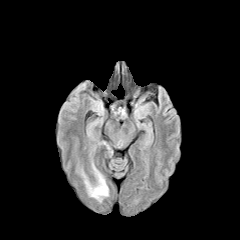
FLAIR magnetic resonance.
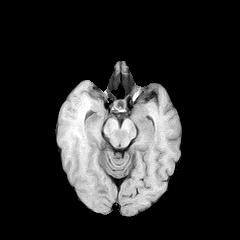
T1-weighted magnetic resonance.
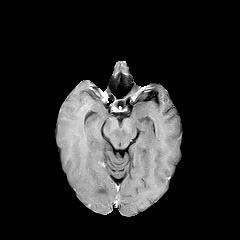
Post-contrast T1-weighted MRI.
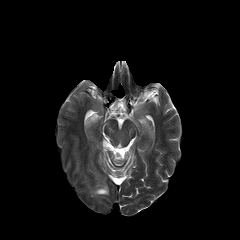
Same slice, T2-weighted MRI.
Image size 240x240, Axial view
{"peritumoral_edema": ["x1=85, y1=174, x2=108, y2=198"]}